Axial view. Image width 240 mm. Brain.
FLAIR MRI.
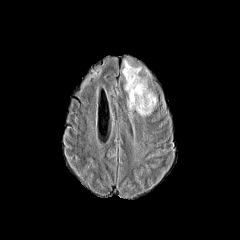
T1-weighted MR.
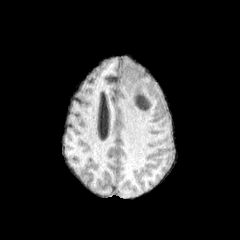
Post-contrast T1-weighted MR.
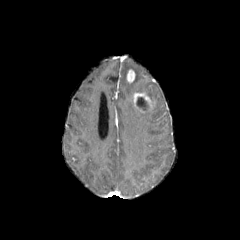
T2-weighted magnetic resonance.
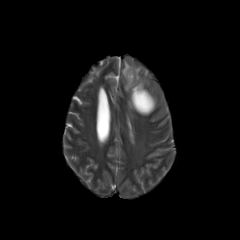
enhancing tumor: l=133, t=92, r=152, b=112; l=126, t=69, r=135, b=84 | necrotic tumor core: l=136, t=97, r=148, b=110 | peritumoral edema: l=122, t=61, r=156, b=115